FLAIR magnetic resonance.
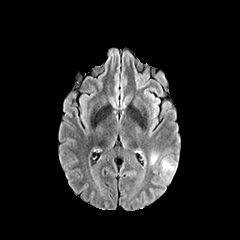
T1-weighted MR.
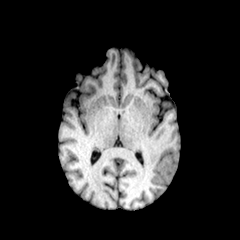
Post-contrast T1-weighted magnetic resonance.
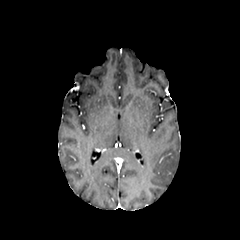
T2-weighted MRI.
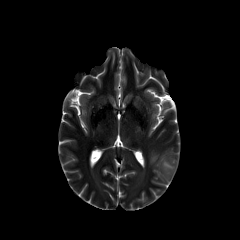
Axial slice | Head
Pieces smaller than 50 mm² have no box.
The 2 largest peritumoral edema regions are bounded by {"x1": 160, "y1": 159, "x2": 175, "y2": 179}, {"x1": 150, "y1": 153, "x2": 158, "y2": 164}.